FLAIR MR image.
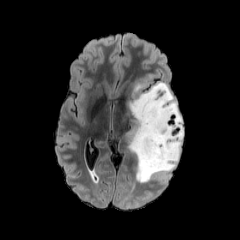
T1-weighted MRI.
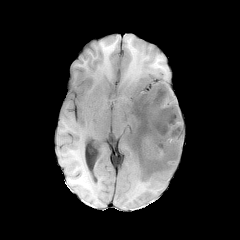
Post-contrast T1-weighted MR.
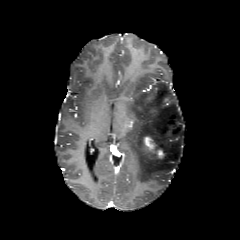
T2-weighted MR.
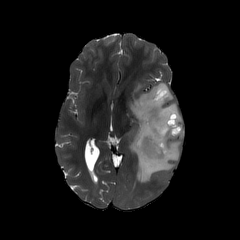
Brain; Image size 240x240; Axial plane
Segmented structures:
• peritumoral edema: bbox(129, 82, 183, 182)
• enhancing tumor: bbox(143, 136, 164, 159)